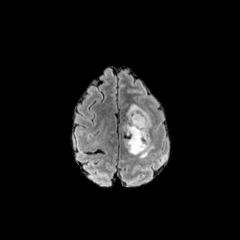
FLAIR MRI.
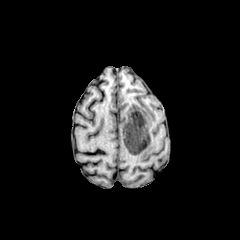
T1-weighted MRI of the same slice.
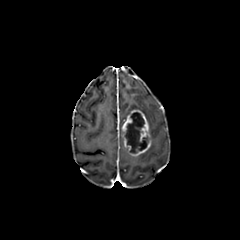
Post-contrast T1-weighted MR.
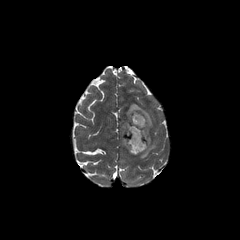
Same slice, T2-weighted MR image.
Head, Axial slice
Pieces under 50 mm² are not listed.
peritumoral edema — <box>126,104,152,128</box>, <box>139,143,154,159</box>
necrotic tumor core — <box>125,112,147,153</box>
enhancing tumor — <box>121,109,151,155</box>